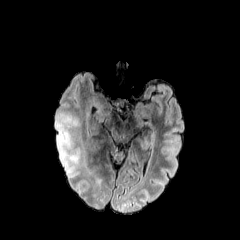
FLAIR MR image.
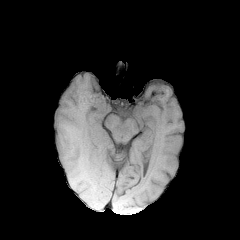
Same slice, T1-weighted MRI.
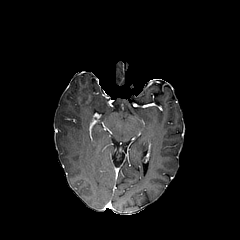
Post-contrast T1-weighted MRI of the same slice.
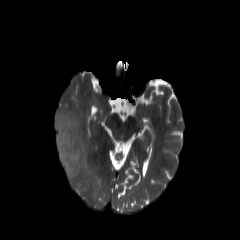
Same slice, T2-weighted MRI.
Head
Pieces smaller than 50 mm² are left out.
The largest peritumoral edema region is bounded by box=[56, 113, 87, 178].